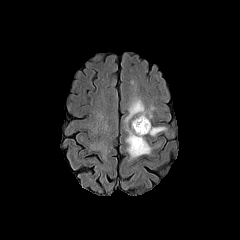
FLAIR MR.
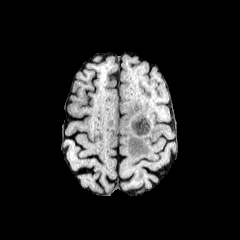
T1-weighted MR image.
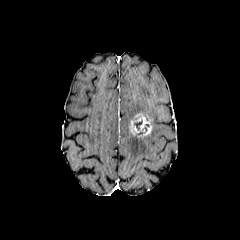
Post-contrast T1-weighted magnetic resonance.
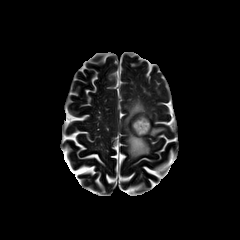
T2-weighted MR image.
240x240 px, Axial plane
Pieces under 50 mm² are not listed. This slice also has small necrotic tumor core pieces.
enhancing tumor at 129 113 152 137
peritumoral edema at 125 98 152 158, 150 127 165 136